Axial view; Image covers 240 mm x 240 mm
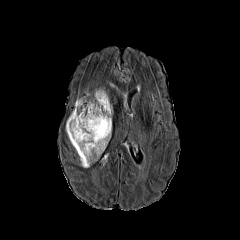
FLAIR MR image.
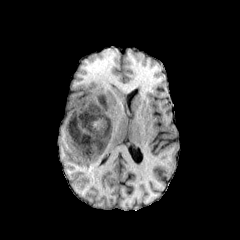
Same slice, T1-weighted MR.
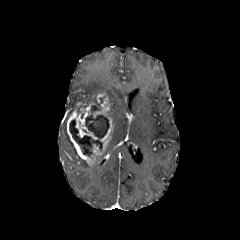
Post-contrast T1-weighted magnetic resonance.
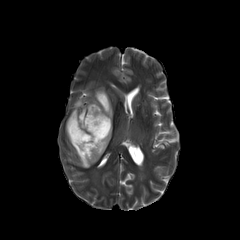
Same slice, T2-weighted magnetic resonance.
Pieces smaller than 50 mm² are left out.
enhancing tumor: 67:93:112:164 | peritumoral edema: 80:157:90:167 | necrotic tumor core: 85:115:109:138, 69:119:102:156